FLAIR MRI.
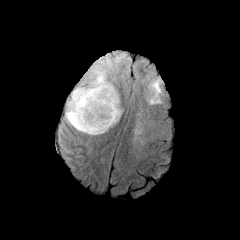
T1-weighted MR.
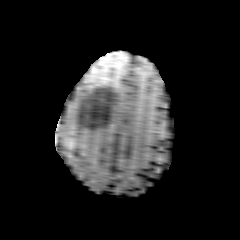
Post-contrast T1-weighted MRI.
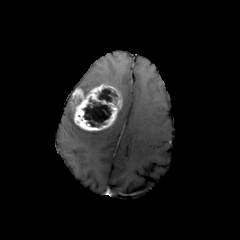
T2-weighted magnetic resonance.
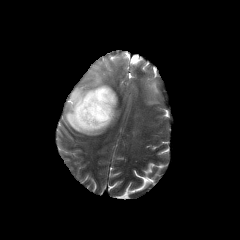
240x240; Head
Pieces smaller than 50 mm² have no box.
peritumoral_edema:
  - (77, 63, 107, 94)
  - (64, 97, 108, 135)
enhancing_tumor:
  - (70, 83, 121, 131)
necrotic_tumor_core:
  - (84, 99, 110, 126)
  - (98, 89, 117, 101)